FLAIR MR.
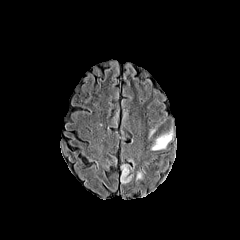
T1-weighted MR.
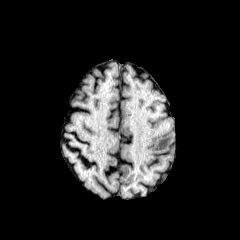
Post-contrast T1-weighted magnetic resonance.
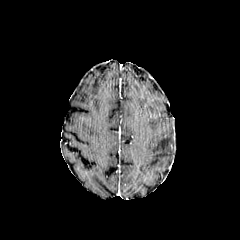
T2-weighted MRI.
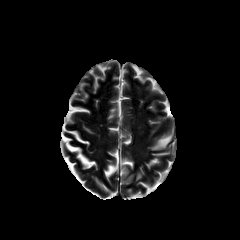
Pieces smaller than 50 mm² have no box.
peritumoral_edema:
  - (136,170,142,180)
  - (120,164,133,183)
  - (151,130,172,150)